FLAIR MRI.
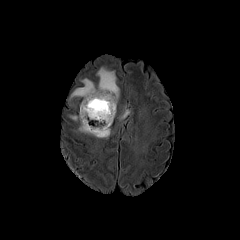
T1-weighted MRI.
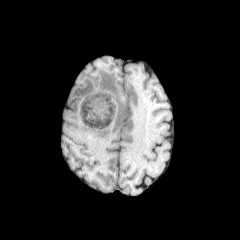
Post-contrast T1-weighted MR.
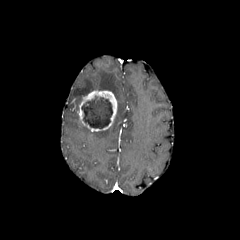
T2-weighted MR.
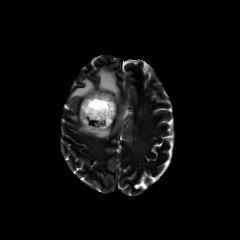
Brain.
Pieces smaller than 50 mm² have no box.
The largest enhancing tumor region is located at (78,90,117,131). The 3 largest peritumoral edema regions are bounded by (119,109,130,119), (78,122,110,138), (70,67,119,100). The necrotic tumor core is bounded by (82,97,112,128).